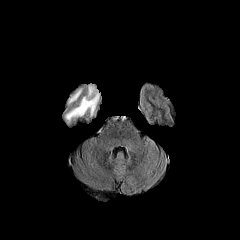
FLAIR MR image.
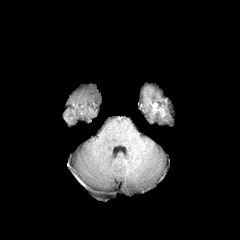
T1-weighted MR.
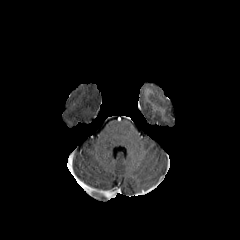
Post-contrast T1-weighted MR.
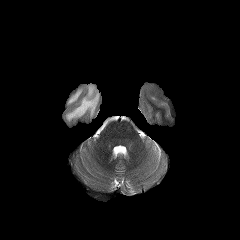
Same slice, T2-weighted MRI.
Axial plane | 240x240 px | Head
2 peritumoral edema regions appear at 65,84,99,122; 68,88,82,104.